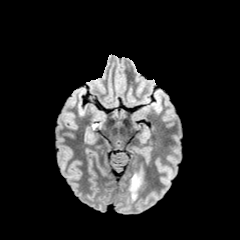
FLAIR magnetic resonance.
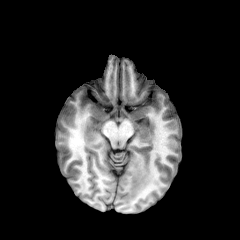
T1-weighted magnetic resonance of the same slice.
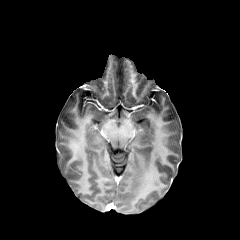
Same slice, post-contrast T1-weighted MRI.
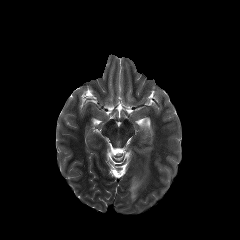
Same slice, T2-weighted MR image.
Image size 240x240. Brain. Axial slice.
The peritumoral edema is at l=129, t=175, r=142, b=199.